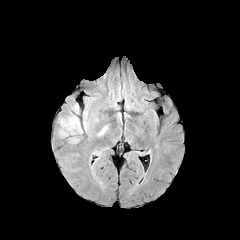
FLAIR MR.
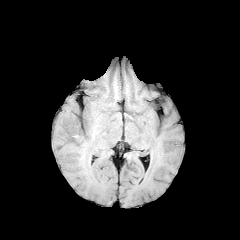
T1-weighted MR of the same slice.
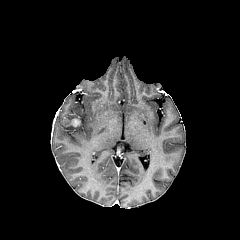
Post-contrast T1-weighted MR image.
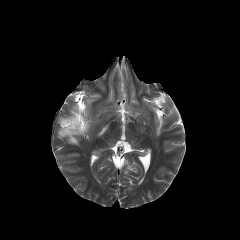
T2-weighted MR image.
240x240 px | Axial slice | Head
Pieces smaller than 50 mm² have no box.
<segmentation>
  <enhancing_tumor>(x1=70, y1=118, x2=80, y2=126)</enhancing_tumor>
  <peritumoral_edema>(x1=59, y1=116, x2=82, y2=133)</peritumoral_edema>
</segmentation>